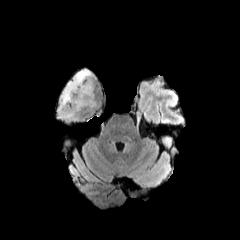
FLAIR MR image.
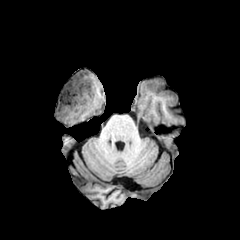
T1-weighted MR image of the same slice.
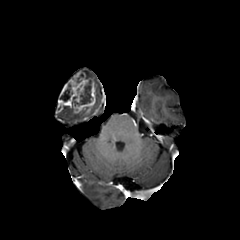
Post-contrast T1-weighted MR image.
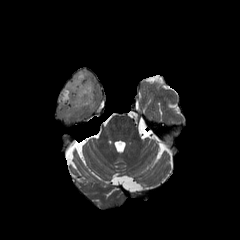
T2-weighted MRI.
Axial slice. Image size 240x240.
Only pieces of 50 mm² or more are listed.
The enhancing tumor lies within l=56, t=71, r=95, b=114. The 2 largest necrotic tumor core regions are bounded by l=72, t=80, r=91, b=105; l=60, t=84, r=70, b=101. 2 peritumoral edema regions appear at l=82, t=70, r=92, b=78; l=59, t=106, r=74, b=119.